Image size 240x240; Head; Slice index 71; Axial plane
FLAIR MR.
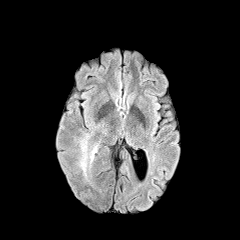
T1-weighted MR.
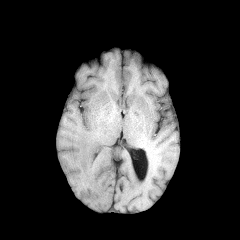
Post-contrast T1-weighted MRI.
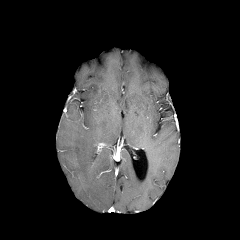
T2-weighted MRI.
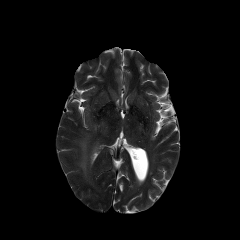
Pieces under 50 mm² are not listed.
peritumoral edema: (left=78, top=134, right=97, bottom=178)